Brain. Image width 240 mm, 1.00 mm slice spacing. Axial plane.
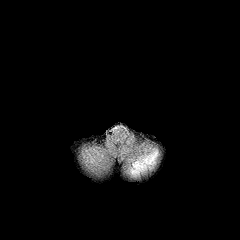
FLAIR MR.
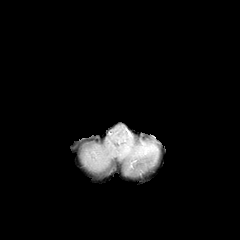
T1-weighted MR image.
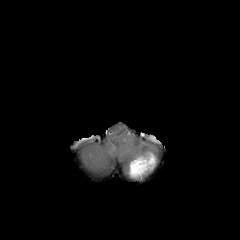
Post-contrast T1-weighted magnetic resonance.
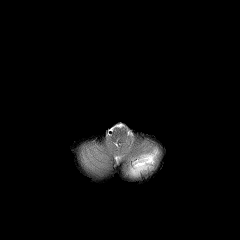
T2-weighted MRI.
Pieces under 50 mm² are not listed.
Findings:
- enhancing tumor: box(128, 152, 156, 178)
- peritumoral edema: box(127, 146, 159, 172)